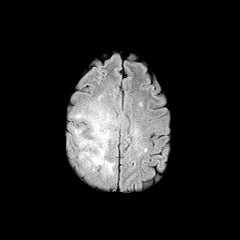
FLAIR MR.
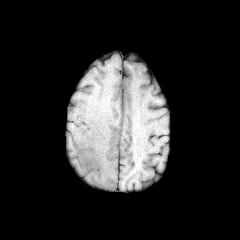
T1-weighted MR.
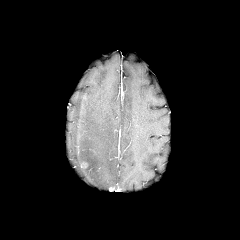
Post-contrast T1-weighted MR of the same slice.
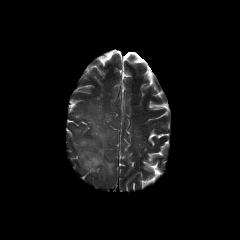
T2-weighted MRI.
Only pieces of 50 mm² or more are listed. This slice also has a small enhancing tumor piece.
peritumoral edema — region(73, 103, 117, 178)